Image width 240 mm, 1.00 mm slice spacing. Slice 35/155.
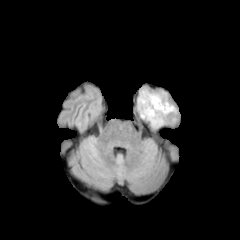
FLAIR MRI.
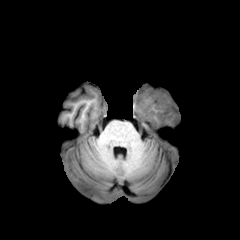
T1-weighted MRI of the same slice.
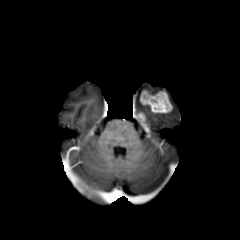
Post-contrast T1-weighted MRI.
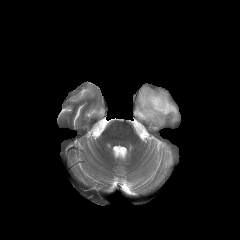
T2-weighted MRI.
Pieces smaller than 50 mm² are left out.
enhancing tumor: (137,112,145,122), (140,90,172,113)
peritumoral edema: (137,88,177,127)